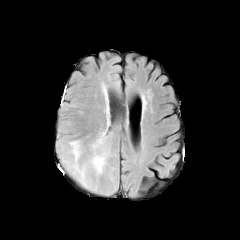
FLAIR MRI.
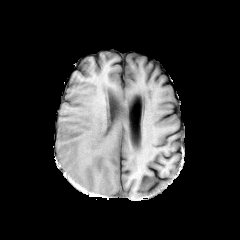
T1-weighted MR image of the same slice.
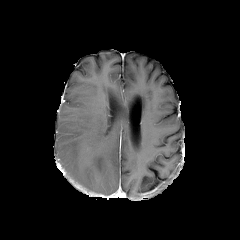
Post-contrast T1-weighted magnetic resonance.
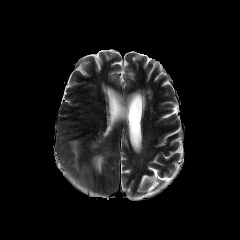
T2-weighted MRI.
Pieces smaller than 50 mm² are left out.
Annotated regions:
• peritumoral edema: 70:141:79:169, 91:153:105:173